Brain. Slice 82 of 155.
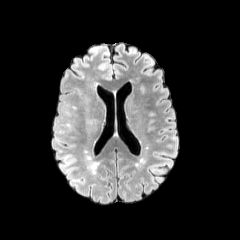
FLAIR MRI.
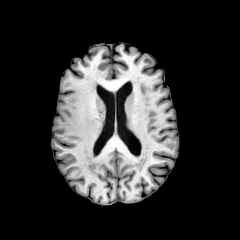
T1-weighted magnetic resonance.
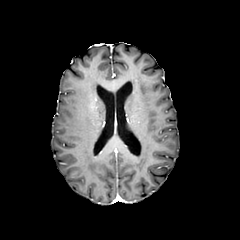
Post-contrast T1-weighted MR.
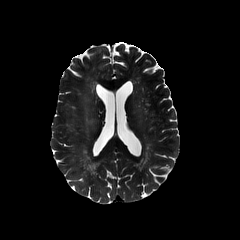
Same slice, T2-weighted MRI.
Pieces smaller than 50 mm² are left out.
<segmentation>
  <peritumoral_edema>region(86, 116, 100, 124)</peritumoral_edema>
</segmentation>